FLAIR magnetic resonance.
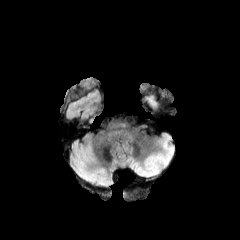
T1-weighted MRI.
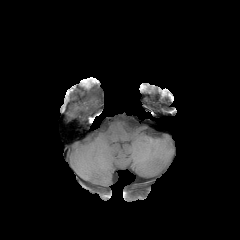
Post-contrast T1-weighted MR image.
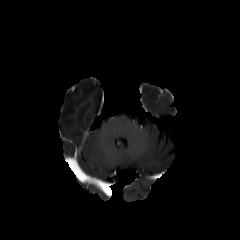
T2-weighted MR image.
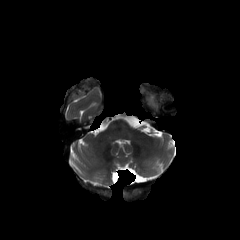
240x240; Axial plane
peritumoral edema: rect(145, 95, 158, 110)